Image covers 240 mm x 240 mm | Head
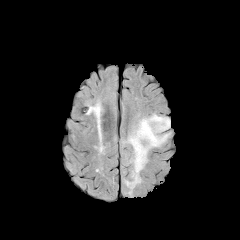
FLAIR MR.
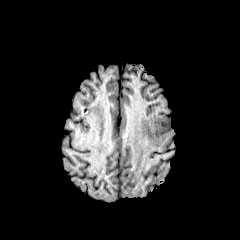
T1-weighted magnetic resonance of the same slice.
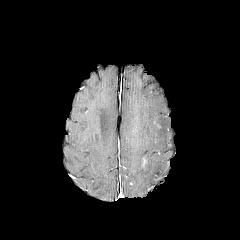
Post-contrast T1-weighted magnetic resonance of the same slice.
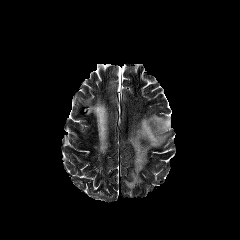
Same slice, T2-weighted magnetic resonance.
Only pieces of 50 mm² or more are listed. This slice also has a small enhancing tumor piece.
peritumoral_edema:
  - (125,114,170,189)